Slice 85/155 | Axial view
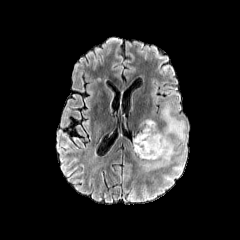
FLAIR MR.
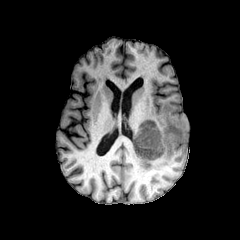
T1-weighted magnetic resonance.
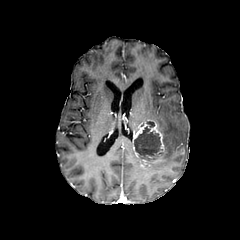
Post-contrast T1-weighted MRI.
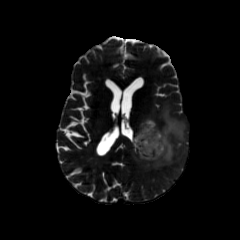
T2-weighted MR.
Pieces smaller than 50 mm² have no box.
The largest necrotic tumor core region lies within 134 121 161 156. The largest peritumoral edema region appears at 139 102 187 170. The enhancing tumor lies within 133 119 164 164.